FLAIR magnetic resonance.
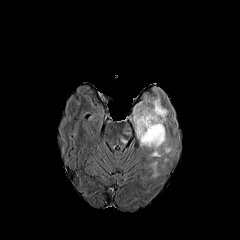
T1-weighted MR image.
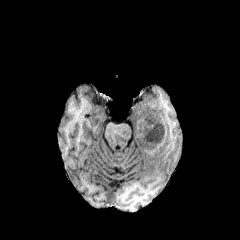
Post-contrast T1-weighted MR.
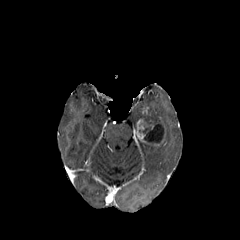
T2-weighted MR image.
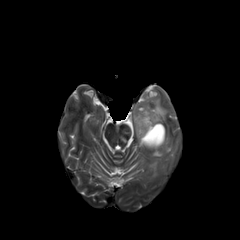
Brain; Axial view
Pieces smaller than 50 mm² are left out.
enhancing tumor: region(136, 119, 148, 143)
peritumoral edema: region(150, 160, 158, 177); region(123, 122, 131, 135); region(129, 92, 172, 157)
necrotic tumor core: region(139, 121, 164, 144)